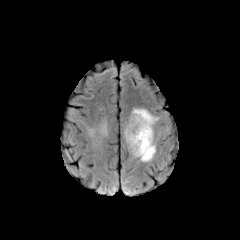
FLAIR MRI.
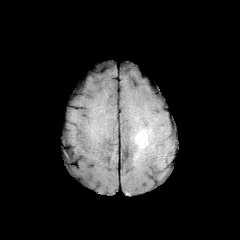
T1-weighted MRI.
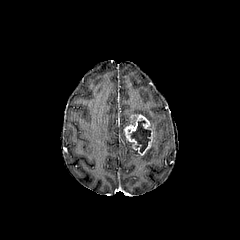
Same slice, post-contrast T1-weighted MR image.
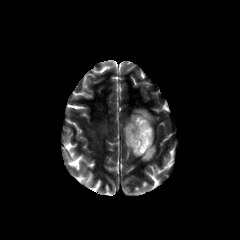
Same slice, T2-weighted MR.
Axial view | Brain
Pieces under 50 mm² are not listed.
* necrotic tumor core: [131, 120, 150, 152]
* enhancing tumor: [124, 114, 153, 155]
* peritumoral edema: [123, 108, 158, 161]